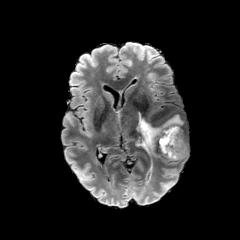
FLAIR MR image.
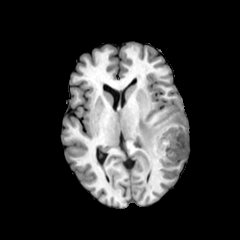
T1-weighted MR image of the same slice.
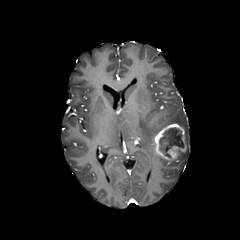
Post-contrast T1-weighted magnetic resonance.
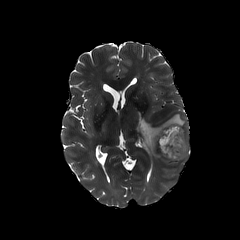
T2-weighted MR.
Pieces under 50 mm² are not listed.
{"peritumoral_edema": ["box(177, 134, 189, 160)", "box(135, 111, 184, 158)"], "enhancing_tumor": ["box(154, 123, 186, 161)"], "necrotic_tumor_core": ["box(159, 127, 183, 157)"]}